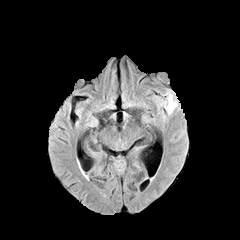
FLAIR MRI.
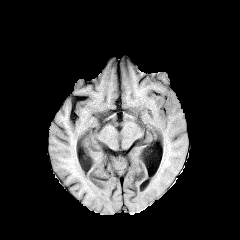
T1-weighted MR of the same slice.
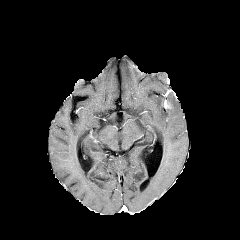
Post-contrast T1-weighted magnetic resonance.
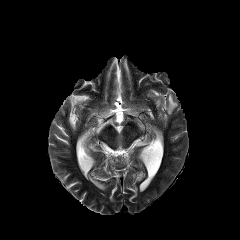
T2-weighted MR.
Head; Axial slice
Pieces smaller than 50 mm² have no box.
peritumoral edema: [166, 93, 177, 114]
enhancing tumor: [162, 98, 171, 108]